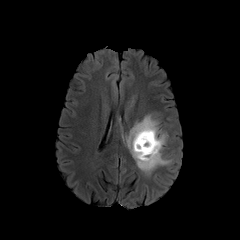
FLAIR magnetic resonance.
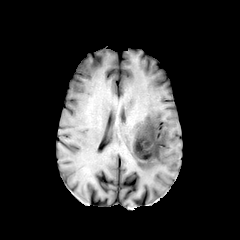
T1-weighted magnetic resonance.
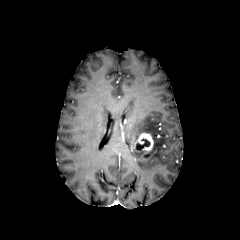
Same slice, post-contrast T1-weighted MRI.
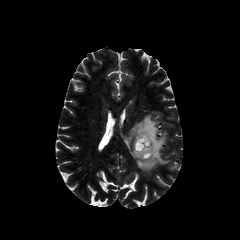
Same slice, T2-weighted MRI.
Brain; Axial view; Image size 240x240
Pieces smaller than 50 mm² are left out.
{"necrotic_tumor_core": ["136,138,150,149"], "peritumoral_edema": ["126,114,171,174"], "enhancing_tumor": ["131,133,153,159"]}